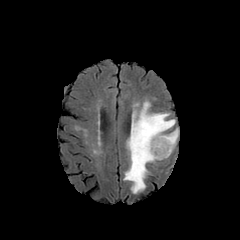
FLAIR MRI.
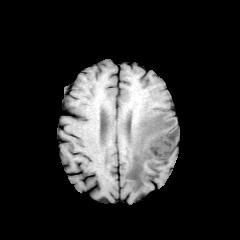
T1-weighted MR.
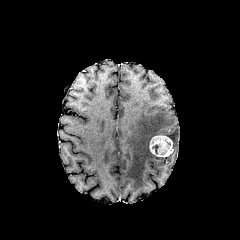
Post-contrast T1-weighted MR.
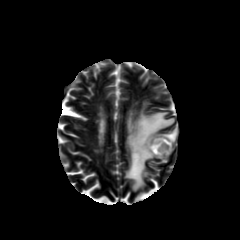
T2-weighted MR image.
Brain; Axial plane
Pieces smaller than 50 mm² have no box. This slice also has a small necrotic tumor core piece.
enhancing tumor: 149, 134, 173, 157
peritumoral edema: 124, 101, 178, 193